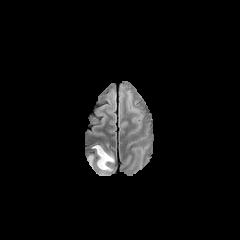
FLAIR magnetic resonance.
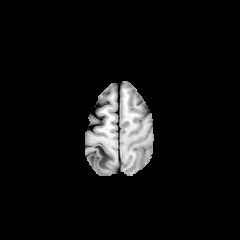
T1-weighted MR image.
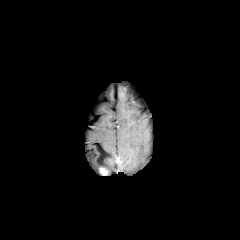
Same slice, post-contrast T1-weighted MR.
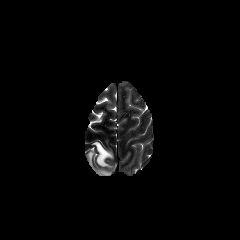
T2-weighted MR image.
Brain | Axial view | 240x240
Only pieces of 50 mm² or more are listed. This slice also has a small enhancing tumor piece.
peritumoral edema = (93,144,113,170)